FLAIR magnetic resonance.
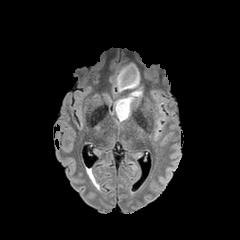
T1-weighted MR image.
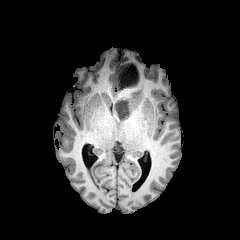
Post-contrast T1-weighted MRI.
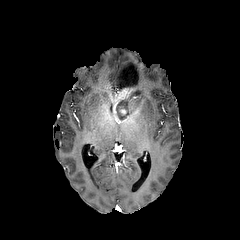
T2-weighted MR.
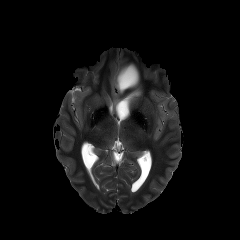
Brain. 240x240. Axial slice.
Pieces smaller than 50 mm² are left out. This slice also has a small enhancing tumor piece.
peritumoral edema at l=115, t=90, r=142, b=121; l=117, t=63, r=140, b=88